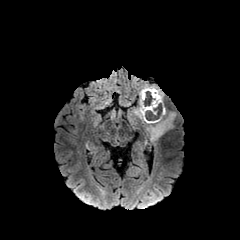
FLAIR MR image.
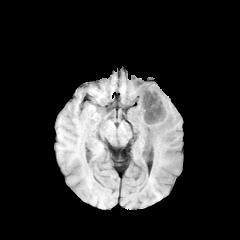
T1-weighted magnetic resonance.
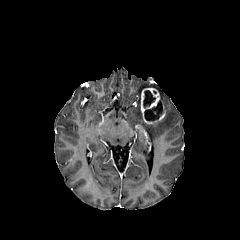
Post-contrast T1-weighted magnetic resonance.
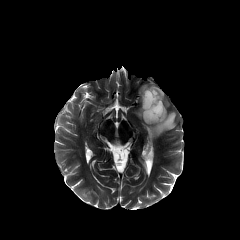
T2-weighted MR image.
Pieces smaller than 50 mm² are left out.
peritumoral_edema:
  - [132, 84, 175, 141]
necrotic_tumor_core:
  - [144, 90, 155, 106]
  - [144, 102, 162, 120]
enhancing_tumor:
  - [141, 88, 165, 124]